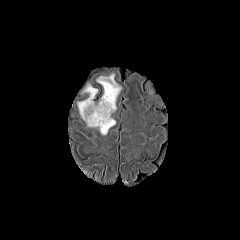
FLAIR MR.
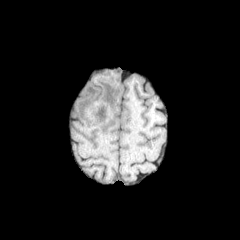
T1-weighted magnetic resonance.
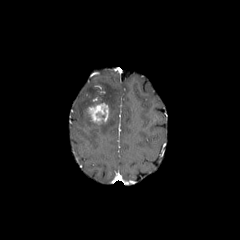
Post-contrast T1-weighted MR of the same slice.
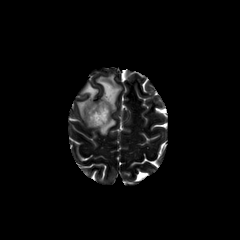
T2-weighted MR.
Axial plane | Head
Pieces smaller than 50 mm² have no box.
peritumoral edema: bounding box 77,74,120,135
enhancing tumor: bounding box 86,102,109,125